Image width 240 mm, Slice index 43, Image size 240x240
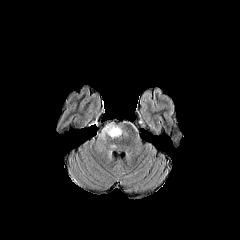
FLAIR MRI.
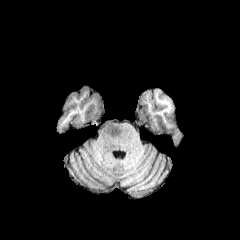
T1-weighted MR image.
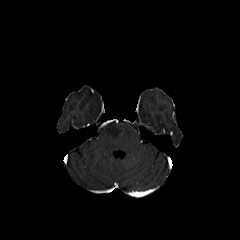
Post-contrast T1-weighted MR.
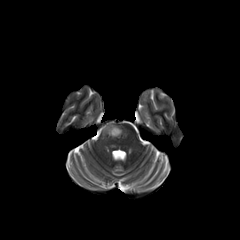
Same slice, T2-weighted magnetic resonance.
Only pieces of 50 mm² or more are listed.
peritumoral edema: <box>101,123,122,137</box>